FLAIR MR.
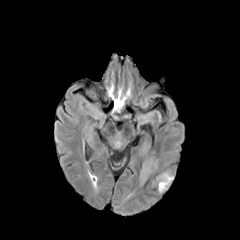
T1-weighted MR image.
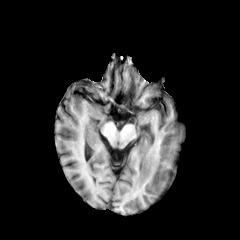
Post-contrast T1-weighted MR.
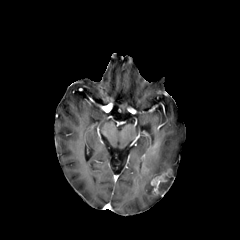
T2-weighted MRI.
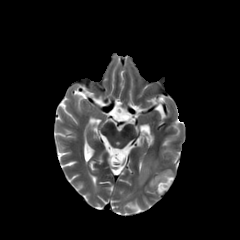
Brain
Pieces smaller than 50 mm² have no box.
peritumoral edema: (left=139, top=156, right=159, bottom=183) | necrotic tumor core: (left=158, top=176, right=173, bottom=192) | enhancing tumor: (left=150, top=169, right=172, bottom=196)